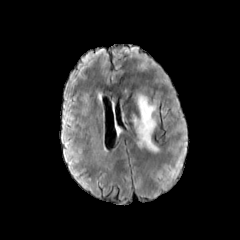
FLAIR magnetic resonance.
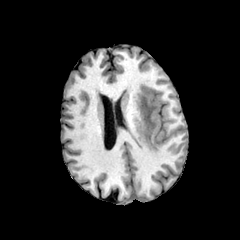
T1-weighted magnetic resonance.
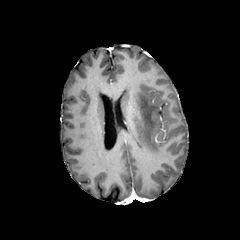
Same slice, post-contrast T1-weighted MR.
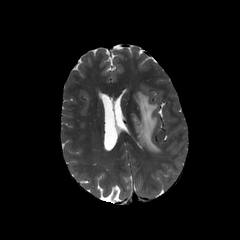
T2-weighted magnetic resonance of the same slice.
Axial slice. 240x240. Head.
{"peritumoral_edema": ["133, 93, 159, 152"]}